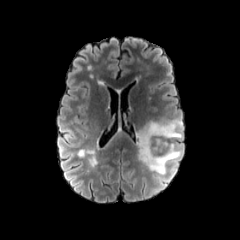
FLAIR MR.
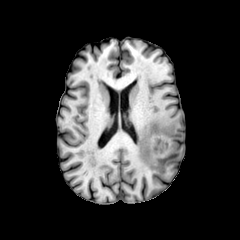
T1-weighted MR image of the same slice.
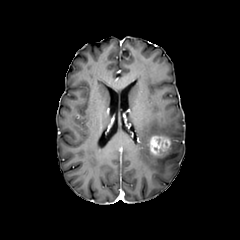
Post-contrast T1-weighted MR image.
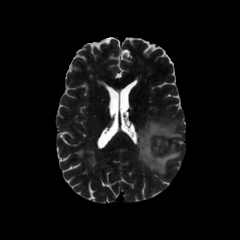
Same slice, T2-weighted MR.
Axial view | Brain
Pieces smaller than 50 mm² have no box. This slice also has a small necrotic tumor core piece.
{"enhancing_tumor": ["l=148, t=136, r=170, b=155"], "peritumoral_edema": ["l=136, t=119, r=183, b=174"]}